FLAIR MR.
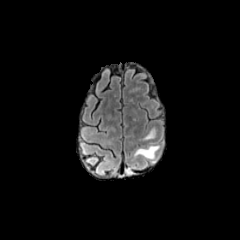
T1-weighted MR.
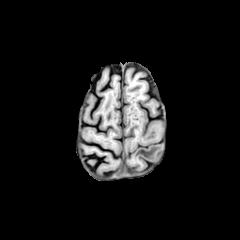
Post-contrast T1-weighted MR image.
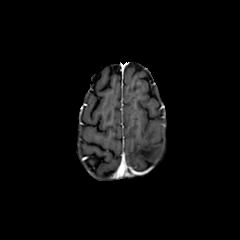
T2-weighted MR.
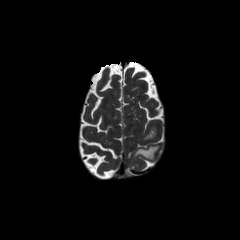
240x240, Axial slice
2 peritumoral edema regions are located at [x1=134, y1=145, x2=160, y2=160], [x1=143, y1=128, x2=155, y2=139].